FLAIR MRI.
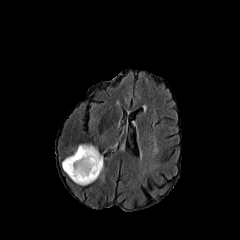
T1-weighted MRI.
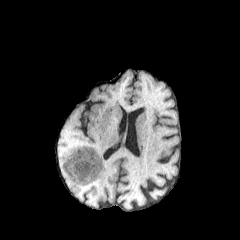
Post-contrast T1-weighted MR image.
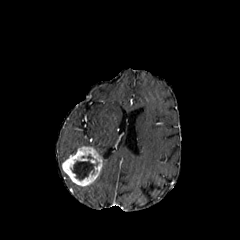
T2-weighted MR.
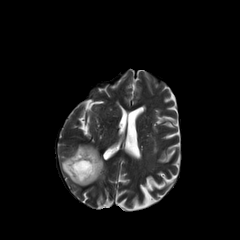
240x240. Axial plane. Head.
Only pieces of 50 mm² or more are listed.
The enhancing tumor is bounded by 62,146,102,186. The largest peritumoral edema region is at 98,153,104,178. The largest necrotic tumor core region appears at 72,161,97,180.